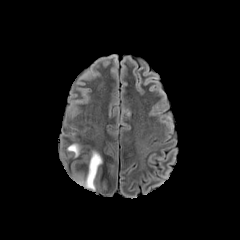
FLAIR MR.
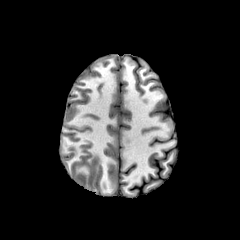
T1-weighted MR of the same slice.
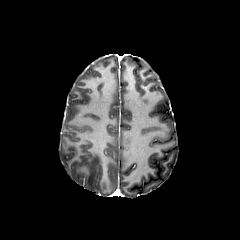
Same slice, post-contrast T1-weighted MR.
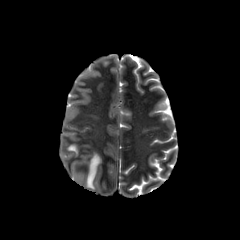
T2-weighted MRI.
Head
2 peritumoral edema regions are bounded by x1=74 y1=152 x2=102 y2=190, x1=67 y1=144 x2=78 y2=156.